FLAIR MR.
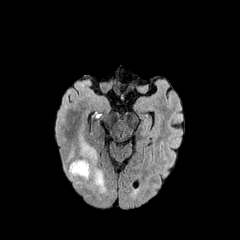
T1-weighted MR image.
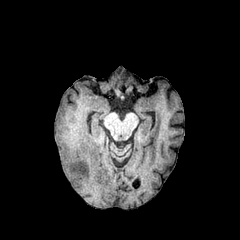
Post-contrast T1-weighted MR image.
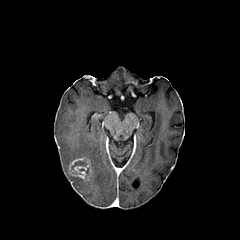
T2-weighted MRI.
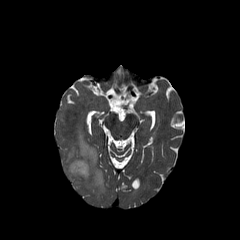
Axial view | Head
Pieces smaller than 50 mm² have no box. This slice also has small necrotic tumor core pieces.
Segmented structures:
• peritumoral edema: x1=64 y1=137 x2=106 y2=193
• enhancing tumor: x1=69 y1=158 x2=91 y2=179